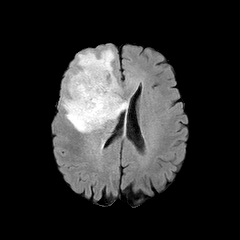
FLAIR MR.
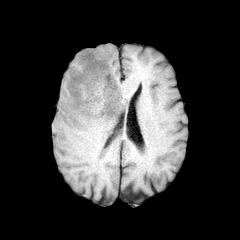
T1-weighted MR.
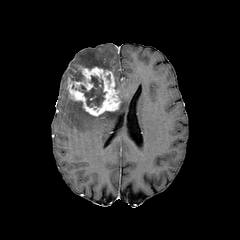
Post-contrast T1-weighted magnetic resonance.
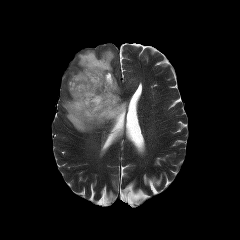
T2-weighted MRI.
Image size 240x240 | Head
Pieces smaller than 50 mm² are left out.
- peritumoral edema: (69,48,114,81), (62,97,128,132)
- enhancing tumor: (67,67,120,116)
- necrotic tumor core: (81,76,105,106)